FLAIR magnetic resonance.
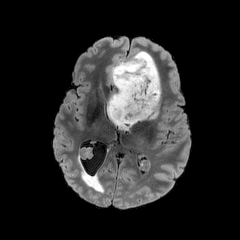
T1-weighted MR.
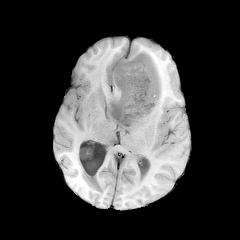
Post-contrast T1-weighted MR.
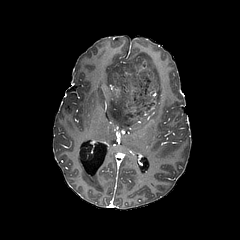
T2-weighted MR image.
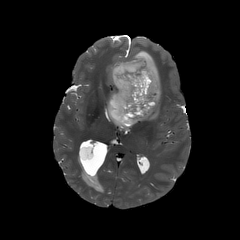
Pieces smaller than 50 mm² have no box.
necrotic tumor core — 111, 54, 158, 126
peritumoral edema — 107, 50, 160, 130